FLAIR magnetic resonance.
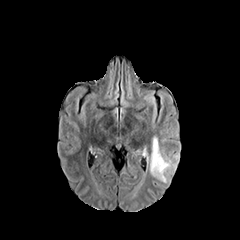
T1-weighted MRI.
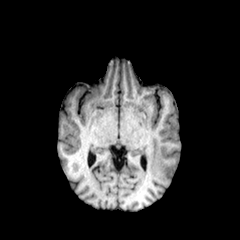
Post-contrast T1-weighted magnetic resonance.
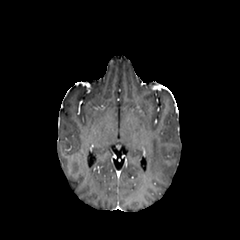
T2-weighted magnetic resonance.
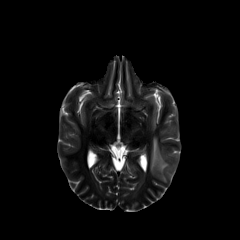
240x240.
peritumoral edema — (150, 136, 179, 182)